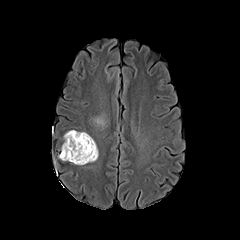
FLAIR magnetic resonance.
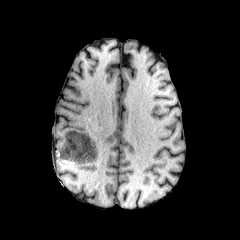
T1-weighted magnetic resonance.
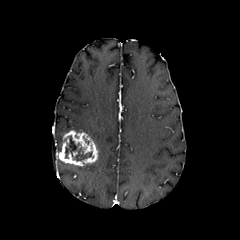
Same slice, post-contrast T1-weighted MR image.
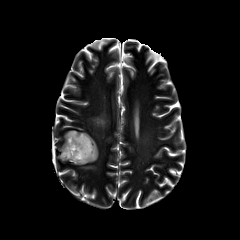
Same slice, T2-weighted MRI.
Brain. Axial view. 240x240.
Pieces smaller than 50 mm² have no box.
enhancing tumor — (58,130,98,165)
peritumoral edema — (91,116,106,128)
necrotic tumor core — (65,136,92,160)